Head, Image size 240x240, Slice 69 of 155
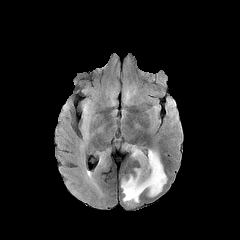
FLAIR MR.
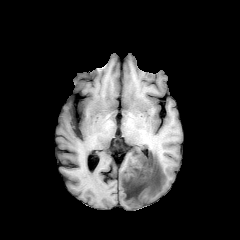
T1-weighted MR.
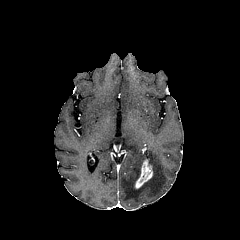
Post-contrast T1-weighted magnetic resonance of the same slice.
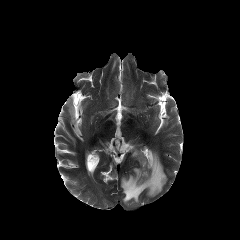
Same slice, T2-weighted MR.
peritumoral edema: <bbox>121, 146, 166, 202</bbox> | enhancing tumor: <bbox>134, 159, 152, 188</bbox>